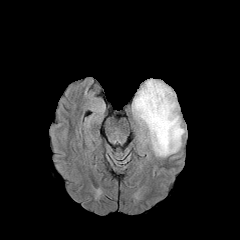
FLAIR magnetic resonance.
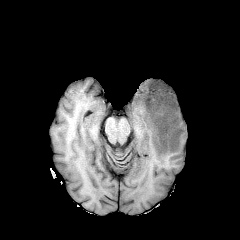
T1-weighted magnetic resonance of the same slice.
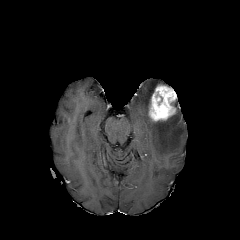
Same slice, post-contrast T1-weighted MR image.
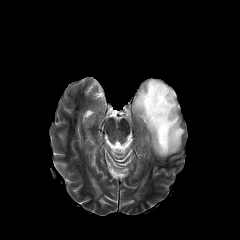
Same slice, T2-weighted MRI.
240x240
The peritumoral edema is at [132,79,184,157]. The enhancing tumor is at [148,84,176,121].